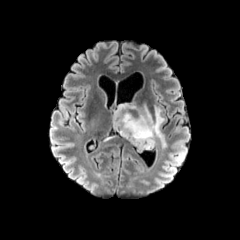
FLAIR MR image.
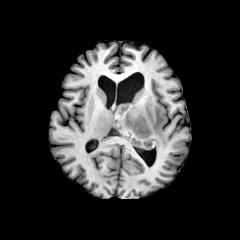
T1-weighted MRI.
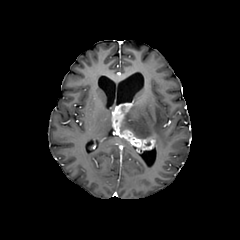
Post-contrast T1-weighted MR.
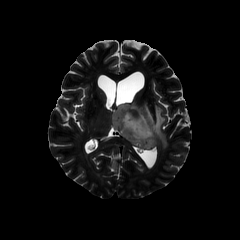
Same slice, T2-weighted magnetic resonance.
Axial plane
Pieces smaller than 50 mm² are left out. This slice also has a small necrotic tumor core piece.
Findings:
• peritumoral edema: <box>120,102,166,147</box>
• enhancing tumor: <box>112,102,155,150</box>